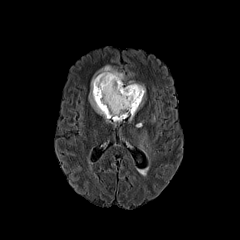
FLAIR MR image.
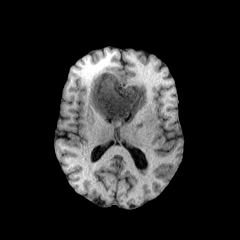
T1-weighted magnetic resonance of the same slice.
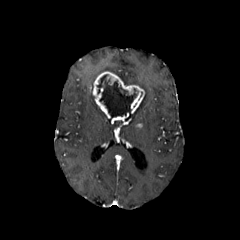
Post-contrast T1-weighted MRI of the same slice.
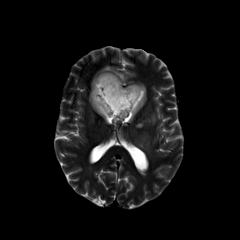
T2-weighted MRI.
Brain
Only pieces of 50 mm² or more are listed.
The 2 largest enhancing tumor regions are bounded by (left=112, top=112, right=128, bottom=121), (left=92, top=71, right=144, bottom=118). The 4 largest peritumoral edema regions appear at (left=130, top=96, right=144, bottom=119), (left=139, top=134, right=146, bottom=147), (left=128, top=81, right=145, bottom=93), (left=89, top=65, right=125, bottom=118). The necrotic tumor core lies within (left=97, top=74, right=136, bottom=118).